FLAIR MR image.
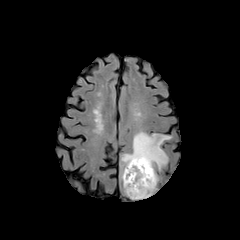
T1-weighted MR image.
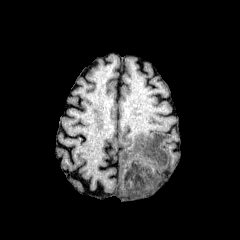
Post-contrast T1-weighted magnetic resonance.
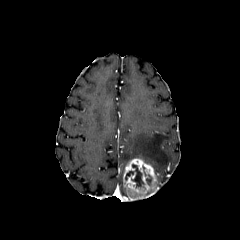
T2-weighted MRI.
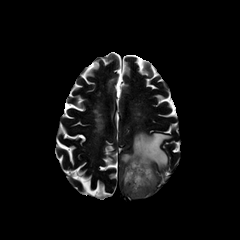
Head
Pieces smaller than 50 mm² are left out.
peritumoral edema: [121,131,171,179]
enhancing tumor: [123,158,157,200]
necrotic tumor core: [131,164,143,187]